FLAIR MR image.
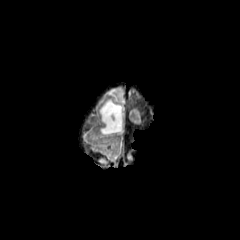
T1-weighted MR.
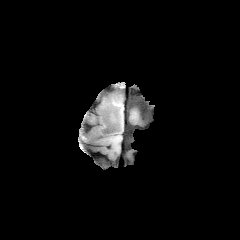
Post-contrast T1-weighted magnetic resonance.
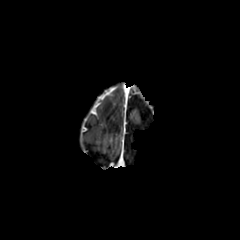
T2-weighted MRI.
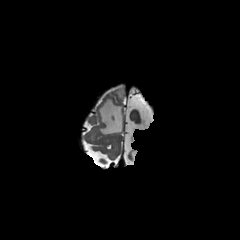
Axial slice, Head, Image size 240x240
<segmentation>
  <peritumoral_edema>99 98 122 134, 107 89 122 100</peritumoral_edema>
</segmentation>